Slice 113 of 155.
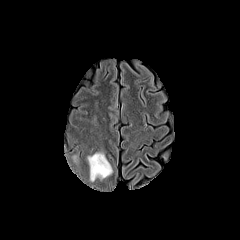
FLAIR MR image.
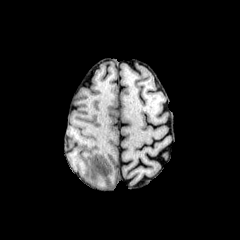
T1-weighted MRI.
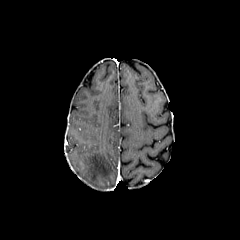
Same slice, post-contrast T1-weighted magnetic resonance.
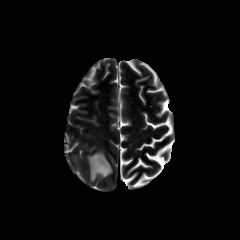
Same slice, T2-weighted MR image.
{
  "peritumoral_edema": [
    "bbox(87, 152, 112, 181)"
  ]
}